Brain; Axial slice; Slice index 44
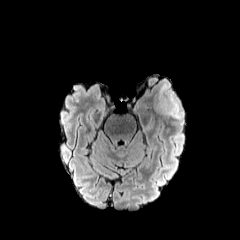
FLAIR magnetic resonance.
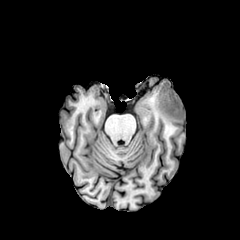
T1-weighted MR image of the same slice.
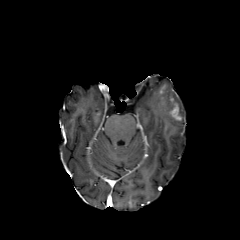
Post-contrast T1-weighted MR.
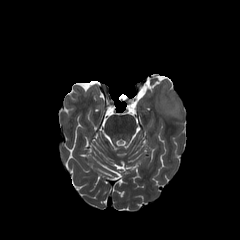
T2-weighted MR of the same slice.
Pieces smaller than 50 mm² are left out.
<segmentation>
  <enhancing_tumor>(left=163, top=96, right=181, bottom=120)</enhancing_tumor>
  <peritumoral_edema>(left=156, top=81, right=183, bottom=122)</peritumoral_edema>
</segmentation>